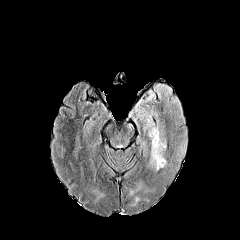
FLAIR magnetic resonance.
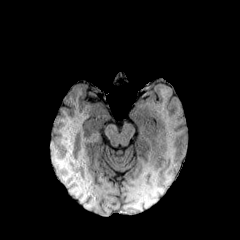
T1-weighted MR image.
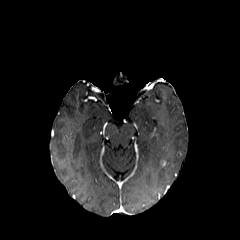
Same slice, post-contrast T1-weighted MRI.
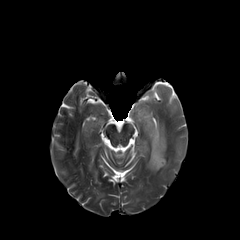
T2-weighted MRI of the same slice.
Brain
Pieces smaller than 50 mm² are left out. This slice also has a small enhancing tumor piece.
peritumoral edema = box(136, 103, 166, 171)